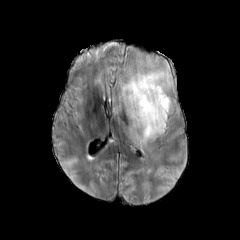
FLAIR MR image.
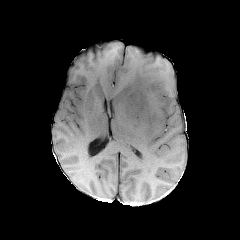
T1-weighted MRI.
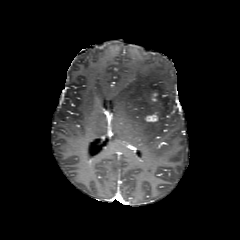
Same slice, post-contrast T1-weighted MR.
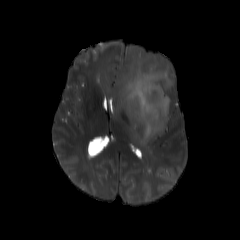
T2-weighted MR image.
Image size 240x240
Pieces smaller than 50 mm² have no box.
<segmentation>
  <peritumoral_edema>116 67 173 145</peritumoral_edema>
  <enhancing_tumor>145 114 158 122</enhancing_tumor>
</segmentation>